FLAIR MR.
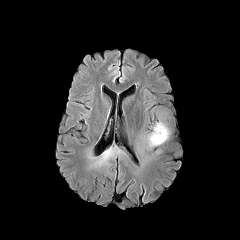
T1-weighted MRI.
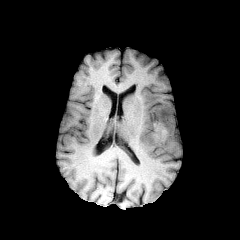
Post-contrast T1-weighted MR.
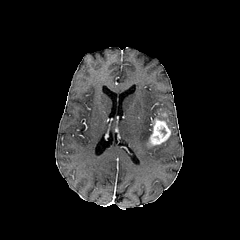
T2-weighted magnetic resonance.
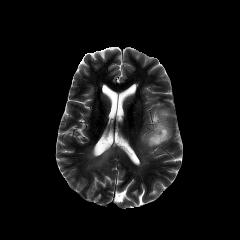
Image size 240x240
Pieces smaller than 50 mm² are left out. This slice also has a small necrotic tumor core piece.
peritumoral edema = region(102, 151, 110, 161); region(139, 132, 156, 151)
enhancing tumor = region(147, 111, 170, 146)